Slice index 56. Head.
FLAIR MR image.
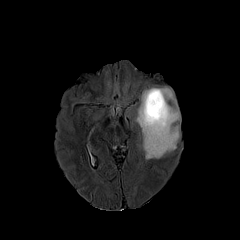
T1-weighted MR.
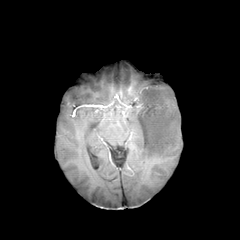
Post-contrast T1-weighted MRI.
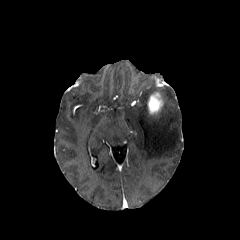
T2-weighted magnetic resonance.
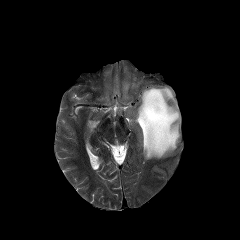
peritumoral edema = box(133, 86, 180, 159)
enhancing tumor = box(147, 92, 163, 114)